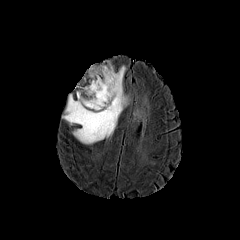
FLAIR MRI.
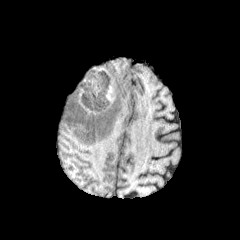
T1-weighted MRI of the same slice.
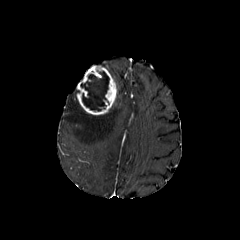
Same slice, post-contrast T1-weighted magnetic resonance.
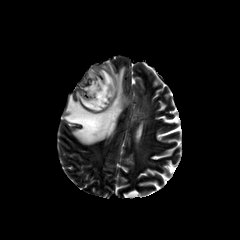
T2-weighted magnetic resonance.
Axial view | Image size 240x240
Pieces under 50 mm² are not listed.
The largest necrotic tumor core region lies within <bbox>80, 70, 109, 111</bbox>. The peritumoral edema appears at <bbox>63, 62, 131, 144</bbox>. The largest enhancing tumor region appears at <bbox>77, 65, 117, 115</bbox>.